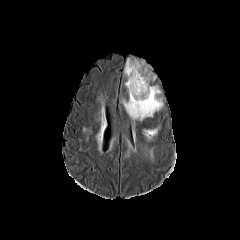
FLAIR MR image.
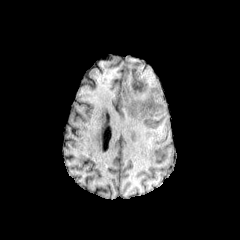
T1-weighted magnetic resonance.
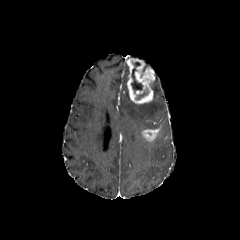
Post-contrast T1-weighted MR.
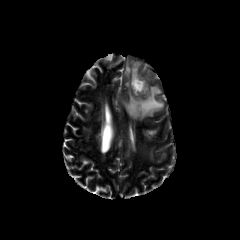
T2-weighted MRI.
Axial plane | 240x240 | Head
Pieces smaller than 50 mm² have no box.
The largest necrotic tumor core region is at {"x1": 131, "y1": 62, "x2": 142, "y2": 92}. The 2 largest peritumoral edema regions are bounded by {"x1": 143, "y1": 145, "x2": 154, "y2": 159}, {"x1": 122, "y1": 85, "x2": 163, "y2": 121}. 2 enhancing tumor regions are bounded by {"x1": 126, "y1": 57, "x2": 154, "y2": 104}, {"x1": 142, "y1": 128, "x2": 159, "y2": 141}.